FLAIR MR.
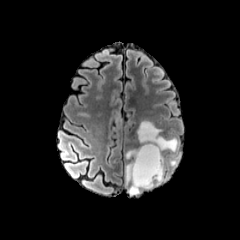
T1-weighted MR.
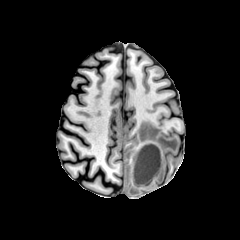
Post-contrast T1-weighted MR.
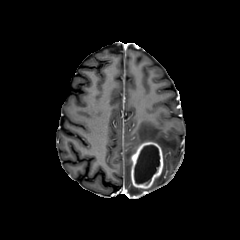
T2-weighted magnetic resonance.
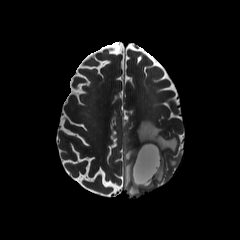
Brain
enhancing tumor: <box>130,141,163,190</box>
peritumoral edema: <box>168,157,178,166</box>, <box>136,121,177,190</box>, <box>125,148,143,195</box>
necrotic tumor core: <box>134,145,159,184</box>